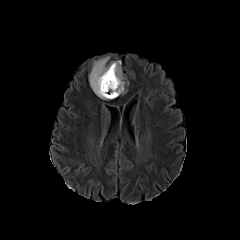
FLAIR MR.
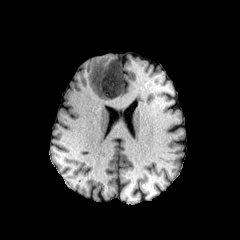
Same slice, T1-weighted MRI.
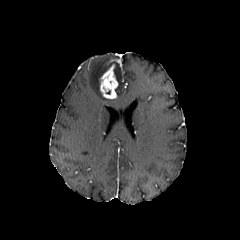
Same slice, post-contrast T1-weighted MR.
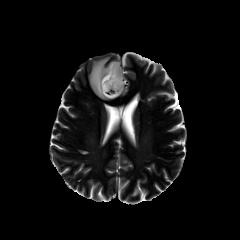
Same slice, T2-weighted MRI.
Head
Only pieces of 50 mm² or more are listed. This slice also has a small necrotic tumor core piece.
enhancing tumor at 100,64,118,98
peritumoral edema at 89,56,124,99